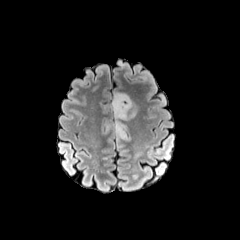
FLAIR magnetic resonance.
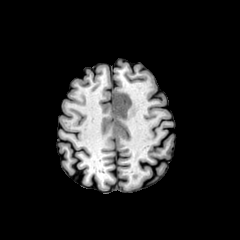
Same slice, T1-weighted magnetic resonance.
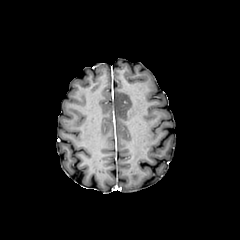
Post-contrast T1-weighted MR.
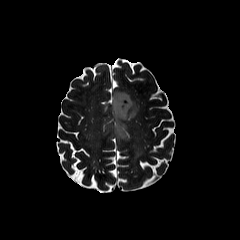
T2-weighted MRI.
Brain; Axial slice
peritumoral edema — x1=112 y1=91 x2=136 y2=120